FLAIR MRI.
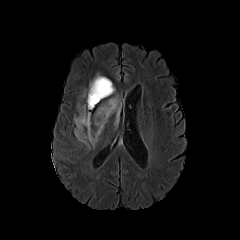
T1-weighted MR image.
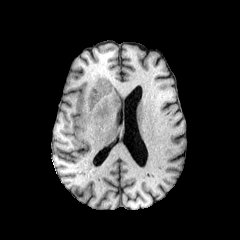
Post-contrast T1-weighted MRI.
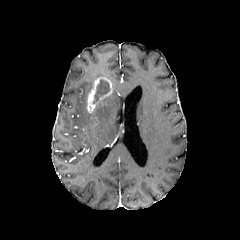
T2-weighted MR.
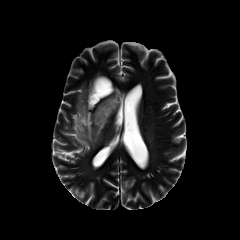
Axial view.
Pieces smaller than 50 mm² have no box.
{"necrotic_tumor_core": ["bbox=[93, 80, 110, 103]"], "enhancing_tumor": ["bbox=[87, 77, 113, 112]"], "peritumoral_edema": ["bbox=[74, 96, 121, 146]", "bbox=[88, 75, 104, 93]"]}